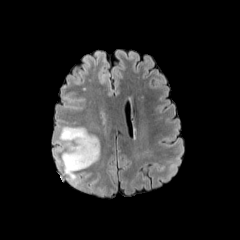
FLAIR magnetic resonance.
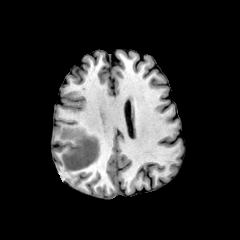
Same slice, T1-weighted MR.
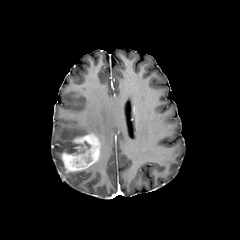
Post-contrast T1-weighted MR image.
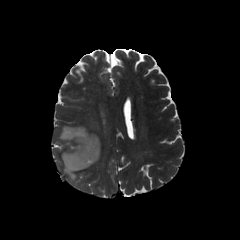
T2-weighted magnetic resonance.
Head | Axial plane
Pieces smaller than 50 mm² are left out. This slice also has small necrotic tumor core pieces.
enhancing tumor: x1=61 y1=134 x2=101 y2=172 | peritumoral edema: x1=55 y1=126 x2=93 y2=182